FLAIR MRI.
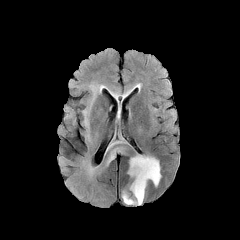
T1-weighted MRI.
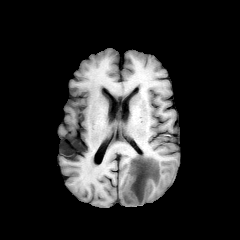
Post-contrast T1-weighted MR image.
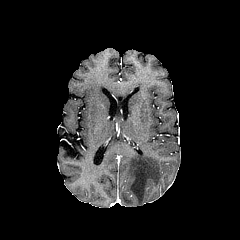
T2-weighted MRI.
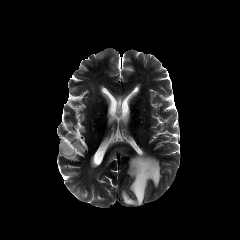
Brain.
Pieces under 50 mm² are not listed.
peritumoral_edema:
  - bbox=[105, 147, 126, 166]
  - bbox=[122, 155, 161, 205]